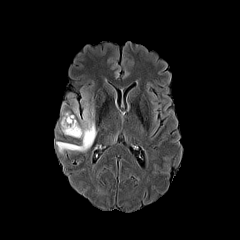
FLAIR MRI.
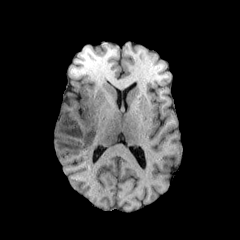
Same slice, T1-weighted MR image.
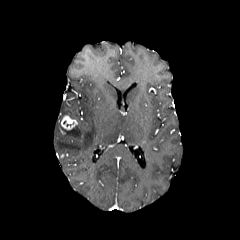
Same slice, post-contrast T1-weighted MR image.
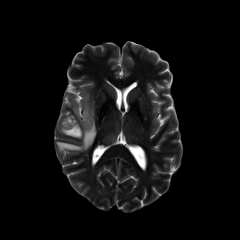
T2-weighted MR image.
Brain
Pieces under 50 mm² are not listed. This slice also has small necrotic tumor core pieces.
<segmentation>
  <peritumoral_edema>x1=72, y1=100, x2=80, y2=118; x1=56, y1=94, x2=96, y2=152</peritumoral_edema>
  <enhancing_tumor>x1=61, y1=115, x2=77, y2=129</enhancing_tumor>
</segmentation>